FLAIR MR.
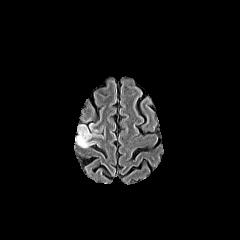
T1-weighted magnetic resonance.
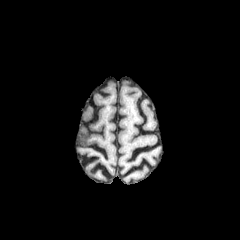
Post-contrast T1-weighted MRI.
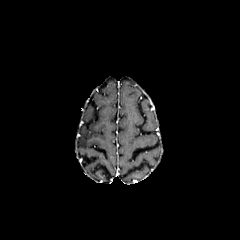
T2-weighted MRI.
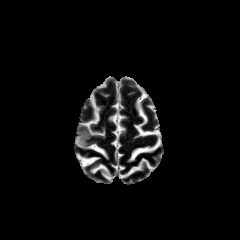
Axial slice
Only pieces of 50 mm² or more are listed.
* peritumoral edema: 78,125,94,148